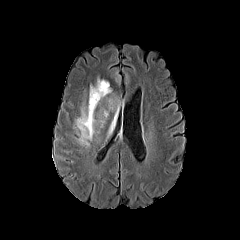
FLAIR magnetic resonance.
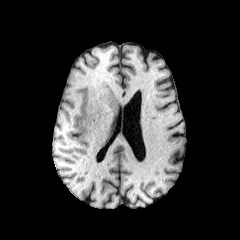
T1-weighted magnetic resonance.
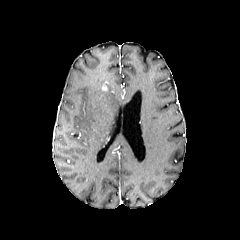
Post-contrast T1-weighted MRI of the same slice.
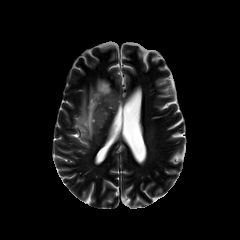
T2-weighted MRI.
Head
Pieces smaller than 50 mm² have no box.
Annotated regions:
• peritumoral edema: [76,79,110,140]
• enhancing tumor: [101,82,107,91]